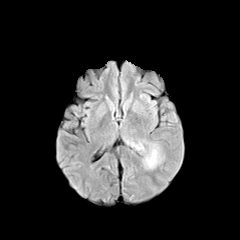
FLAIR MR.
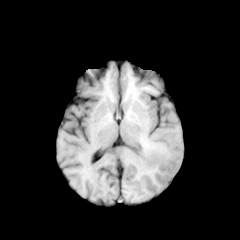
T1-weighted MR.
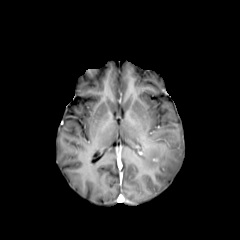
Post-contrast T1-weighted magnetic resonance of the same slice.
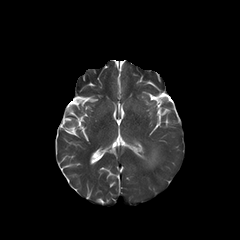
T2-weighted MR image.
Head
peritumoral edema at <bbox>145, 148, 160, 168</bbox>, <bbox>128, 142, 143, 150</bbox>